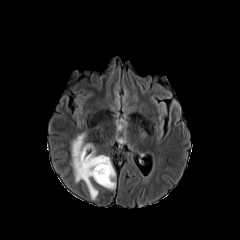
FLAIR MR.
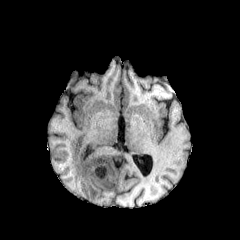
T1-weighted MRI.
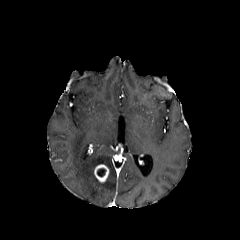
Post-contrast T1-weighted MR.
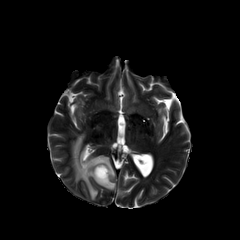
Same slice, T2-weighted MR image.
Axial plane. Brain.
The enhancing tumor appears at [94,164,109,182]. The peritumoral edema lies within [71,133,115,199]. The necrotic tumor core is bounded by [97,168,105,176].